Axial slice
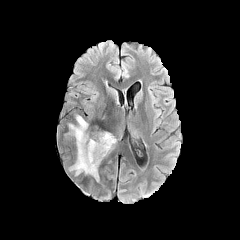
FLAIR magnetic resonance.
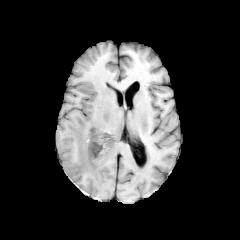
T1-weighted MR of the same slice.
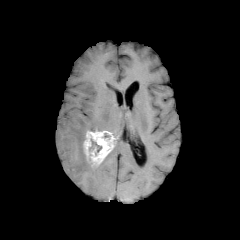
Post-contrast T1-weighted MR image.
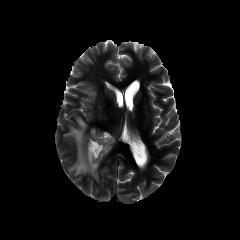
T2-weighted MRI of the same slice.
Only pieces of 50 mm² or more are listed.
Findings:
• peritumoral edema: bbox(64, 115, 100, 181)
• enhancing tumor: bbox(83, 127, 115, 166)
• necrotic tumor core: bbox(89, 141, 101, 155)